Head | Axial view
FLAIR MRI.
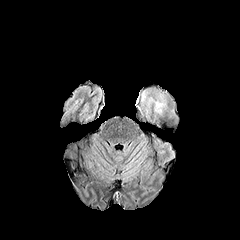
T1-weighted magnetic resonance.
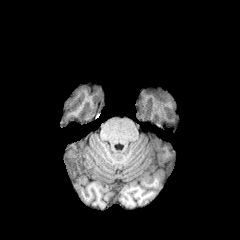
Post-contrast T1-weighted MR image.
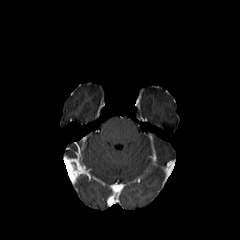
T2-weighted MR image.
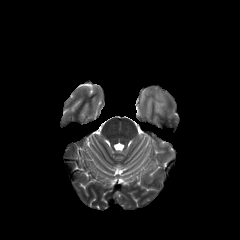
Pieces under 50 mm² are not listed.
peritumoral edema — x1=154, y1=101, x2=165, y2=113